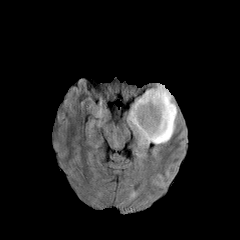
FLAIR magnetic resonance.
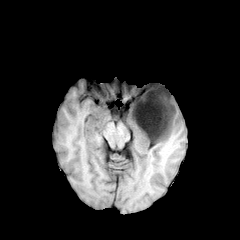
T1-weighted magnetic resonance.
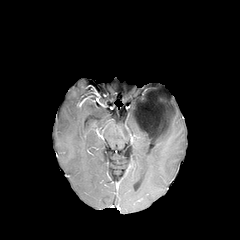
Same slice, post-contrast T1-weighted MR image.
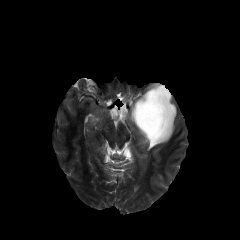
T2-weighted magnetic resonance.
Axial view | 240x240 px | Head
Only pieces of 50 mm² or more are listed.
peritumoral_edema:
  - region(127, 92, 177, 147)
necrotic_tumor_core:
  - region(134, 87, 172, 139)
enhancing_tumor:
  - region(132, 99, 141, 127)
  - region(140, 86, 174, 141)